Head. Axial plane. Image width 240 mm.
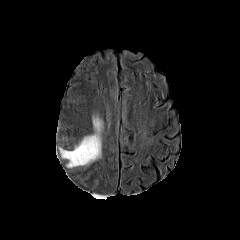
FLAIR magnetic resonance.
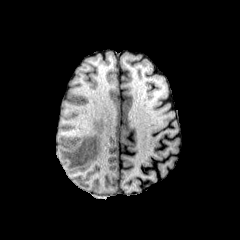
T1-weighted magnetic resonance.
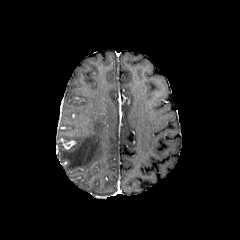
Post-contrast T1-weighted MR.
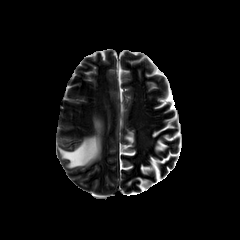
T2-weighted MRI.
The peritumoral edema appears at 59:118:102:168.